Image covers 240 mm x 240 mm. Slice 63 of 155.
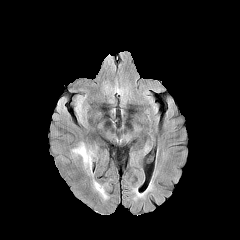
FLAIR MRI.
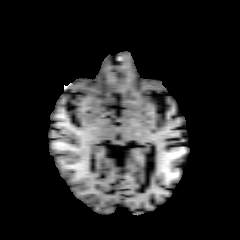
Same slice, T1-weighted MR image.
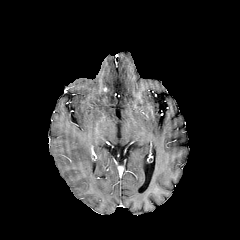
Post-contrast T1-weighted MR image.
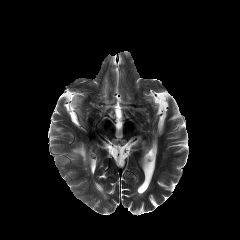
T2-weighted MR.
peritumoral edema at left=72, top=142, right=91, bottom=173